FLAIR MR image.
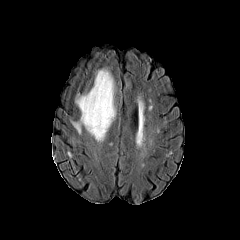
T1-weighted MR image.
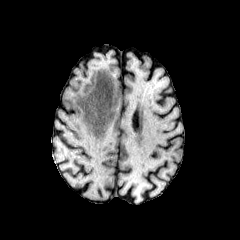
Post-contrast T1-weighted MR.
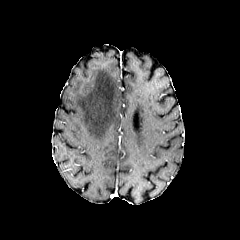
T2-weighted MR.
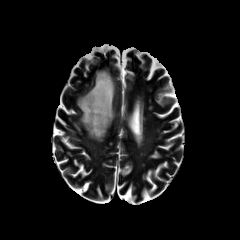
Axial view
peritumoral edema: (left=71, top=68, right=115, bottom=141)